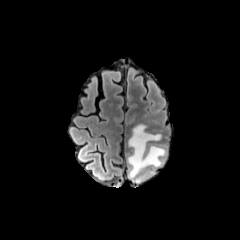
FLAIR MRI.
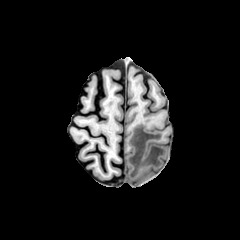
Same slice, T1-weighted MRI.
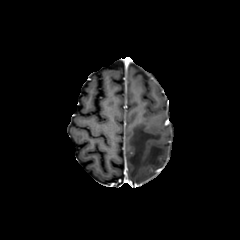
Post-contrast T1-weighted MRI of the same slice.
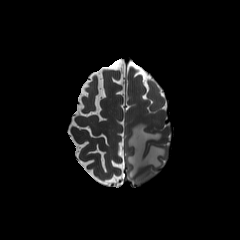
T2-weighted MR of the same slice.
240x240 px; Brain
peritumoral edema: l=127, t=124, r=166, b=183